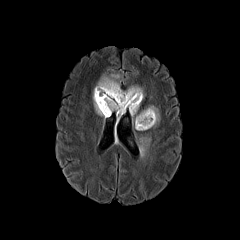
FLAIR magnetic resonance.
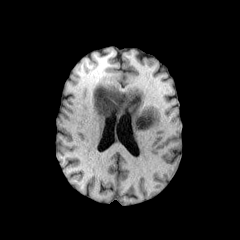
T1-weighted MRI of the same slice.
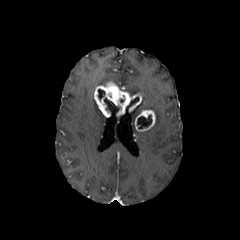
Same slice, post-contrast T1-weighted MR image.
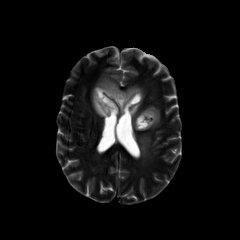
T2-weighted MRI.
Axial view | Head
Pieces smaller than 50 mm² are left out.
necrotic tumor core: bounding box box=[137, 115, 152, 129]; box=[98, 89, 104, 99]; box=[104, 98, 119, 114]; box=[125, 97, 139, 112]
peritumoral edema: bounding box box=[139, 136, 150, 155]; box=[130, 105, 139, 123]; box=[144, 105, 160, 126]; box=[124, 85, 144, 98]; box=[93, 74, 120, 120]
enhancing tumor: bounding box box=[94, 81, 142, 117]; box=[134, 109, 155, 131]